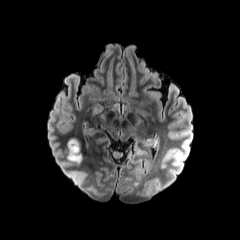
FLAIR magnetic resonance.
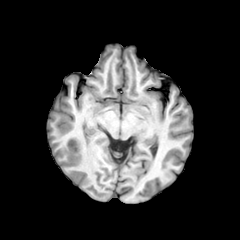
T1-weighted MR.
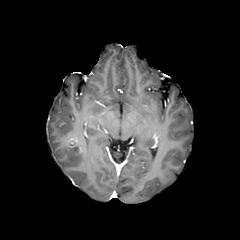
Same slice, post-contrast T1-weighted MR.
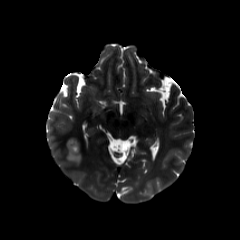
Same slice, T2-weighted MRI.
Brain; Axial slice; 240x240 px
peritumoral_edema:
  - 67 142 82 166
enhancing_tumor:
  - 68 137 80 150